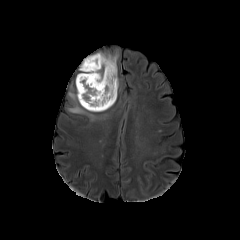
FLAIR MRI.
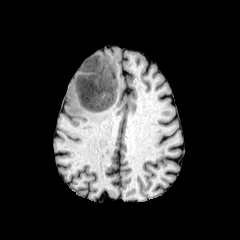
T1-weighted MR.
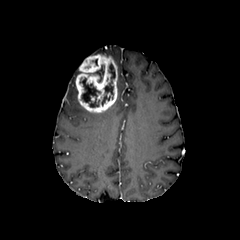
Same slice, post-contrast T1-weighted MR.
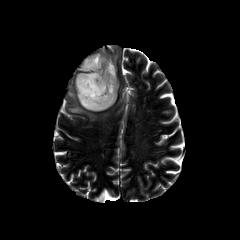
T2-weighted MRI.
240x240 px
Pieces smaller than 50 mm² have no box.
The 2 largest necrotic tumor core regions are located at 80,78,100,107; 101,63,115,105. The largest enhancing tumor region lies within 76,54,117,112. The 3 largest peritumoral edema regions are bounded by 94,52,118,64; 88,65,104,82; 68,86,97,120.